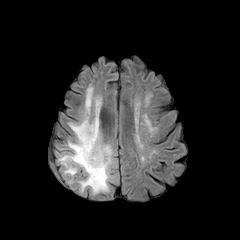
FLAIR MR.
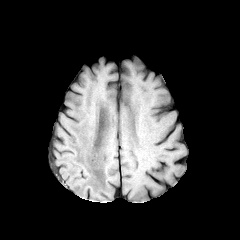
T1-weighted MR.
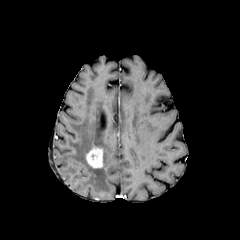
Post-contrast T1-weighted magnetic resonance.
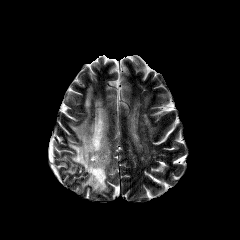
T2-weighted MR image of the same slice.
240x240
The enhancing tumor is at [86,146,103,168]. The peritumoral edema is at [58,86,112,192].